Head. Axial view.
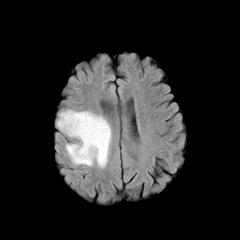
FLAIR MR.
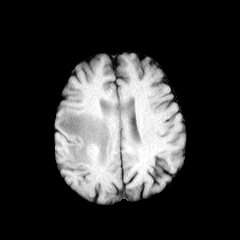
T1-weighted MR image of the same slice.
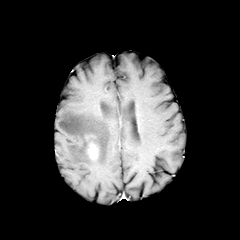
Post-contrast T1-weighted MR image.
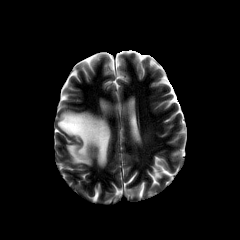
T2-weighted MR image.
enhancing_tumor:
  - rect(88, 143, 97, 158)
peritumoral_edema:
  - rect(57, 110, 111, 167)